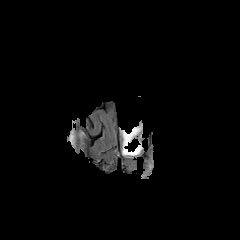
FLAIR MR.
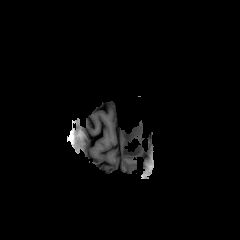
T1-weighted MRI.
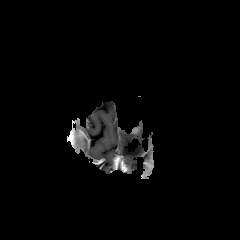
Post-contrast T1-weighted MR.
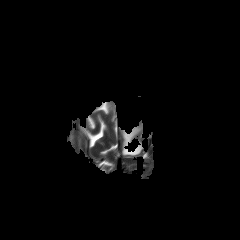
T2-weighted magnetic resonance of the same slice.
Brain | 240x240
The enhancing tumor appears at [x1=131, y1=126, x2=140, y2=134]. The peritumoral edema appears at [x1=120, y1=123, x2=143, y2=156].